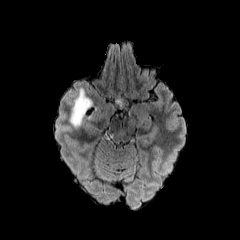
FLAIR MR image.
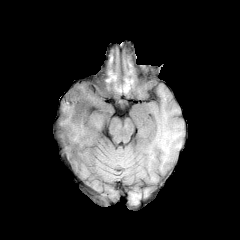
T1-weighted MR.
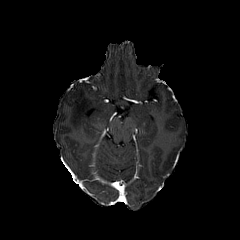
Post-contrast T1-weighted magnetic resonance of the same slice.
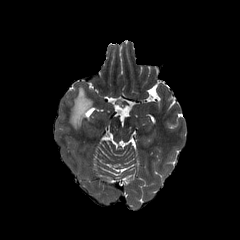
T2-weighted MR image of the same slice.
Brain.
2 peritumoral edema regions are located at (left=115, top=98, right=123, bottom=108), (left=70, top=88, right=95, bottom=127).